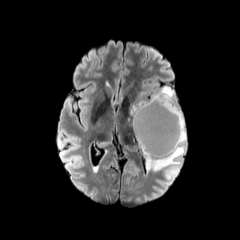
FLAIR MRI.
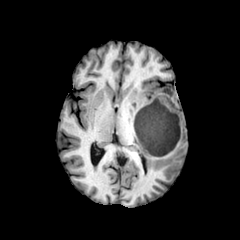
Same slice, T1-weighted MR.
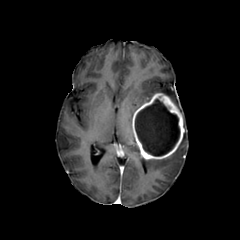
Post-contrast T1-weighted MRI.
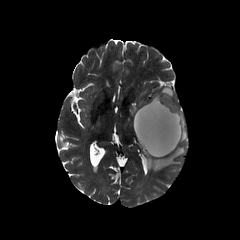
T2-weighted MRI.
240x240 px
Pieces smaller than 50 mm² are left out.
The 3 largest peritumoral edema regions appear at bbox=[129, 92, 149, 116]; bbox=[151, 86, 182, 114]; bbox=[146, 115, 186, 171]. The necrotic tumor core lies within bbox=[135, 99, 180, 156]. The enhancing tumor is located at bbox=[132, 93, 184, 159].